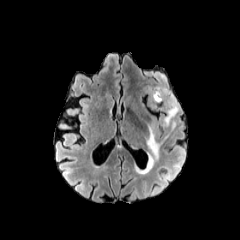
FLAIR magnetic resonance.
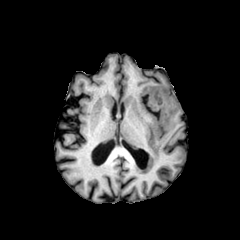
T1-weighted MR.
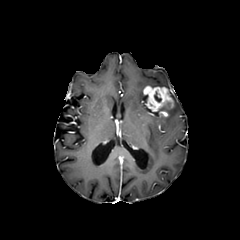
Same slice, post-contrast T1-weighted MR.
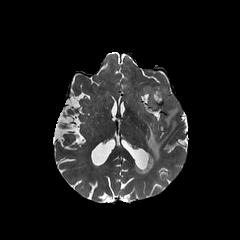
T2-weighted MRI.
Brain.
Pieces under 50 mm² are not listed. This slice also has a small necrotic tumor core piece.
{
  "peritumoral_edema": [
    "bbox(135, 124, 169, 173)",
    "bbox(159, 92, 179, 131)"
  ],
  "enhancing_tumor": [
    "bbox(143, 86, 173, 111)"
  ]
}